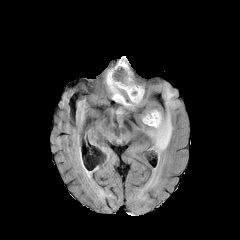
FLAIR MRI.
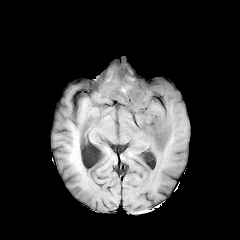
T1-weighted MRI.
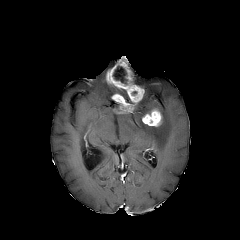
Post-contrast T1-weighted MRI of the same slice.
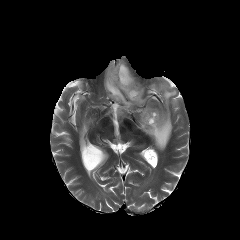
T2-weighted MRI of the same slice.
Brain
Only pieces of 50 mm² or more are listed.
peritumoral_edema:
  - (left=142, top=83, right=178, bottom=153)
  - (left=105, top=78, right=132, bottom=103)
necrotic_tumor_core:
  - (left=115, top=69, right=126, bottom=81)
enhancing_tumor:
  - (left=142, top=109, right=162, bottom=126)
  - (left=106, top=56, right=144, bottom=113)